FLAIR MR.
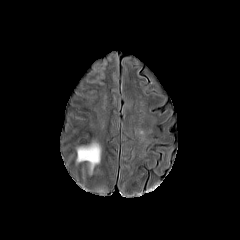
T1-weighted MR image.
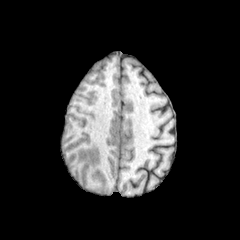
Post-contrast T1-weighted MRI.
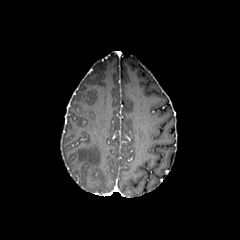
T2-weighted MR image.
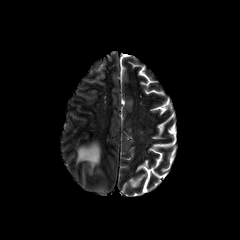
Axial view. Head.
The peritumoral edema lies within (77,142,100,172).